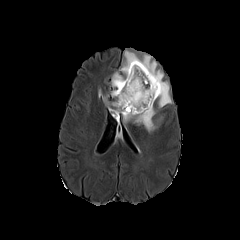
FLAIR MR.
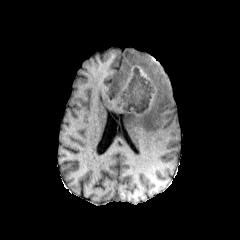
T1-weighted MR of the same slice.
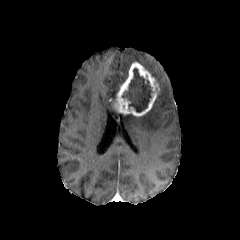
Post-contrast T1-weighted MR image.
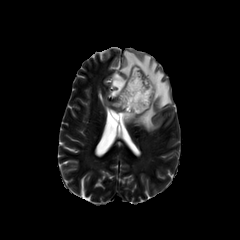
Same slice, T2-weighted MR.
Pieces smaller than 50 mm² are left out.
necrotic_tumor_core:
  - <bbox>122, 68, 152, 112</bbox>
peritumoral_edema:
  - <bbox>103, 97, 115, 110</bbox>
  - <bbox>125, 105, 161, 131</bbox>
  - <bbox>110, 50, 172, 108</bbox>
enhancing_tumor:
  - <bbox>113, 62, 159, 116</bbox>